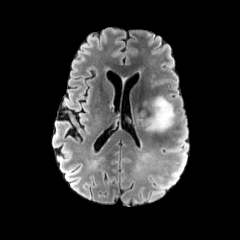
FLAIR magnetic resonance.
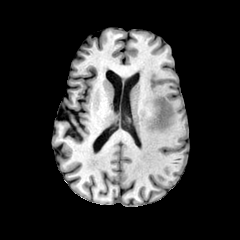
Same slice, T1-weighted MR image.
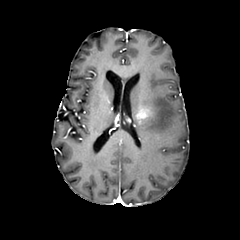
Post-contrast T1-weighted MRI.
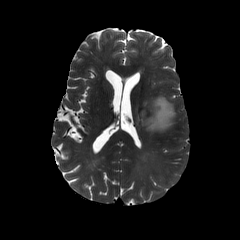
T2-weighted MR of the same slice.
Axial view, Brain
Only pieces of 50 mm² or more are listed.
Findings:
* peritumoral edema: box=[141, 95, 175, 132]
* enhancing tumor: box=[136, 108, 147, 122]